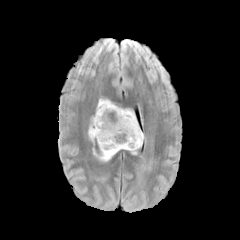
FLAIR MRI.
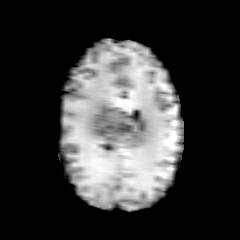
T1-weighted MR image.
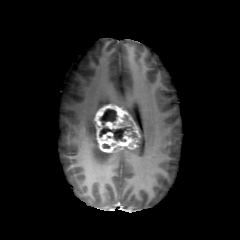
Post-contrast T1-weighted magnetic resonance.
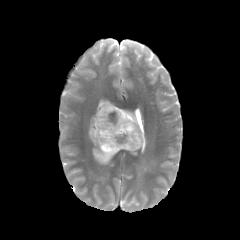
T2-weighted magnetic resonance.
Brain; Axial plane
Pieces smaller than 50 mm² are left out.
Annotated regions:
• peritumoral edema: (122,130,145,154), (124,109,138,126), (96,99,115,111), (88,116,95,141), (93,149,120,163)
• enhancing tumor: (94,104,140,152)
• necrotic tumor core: (100,109,115,124), (99,127,132,139)